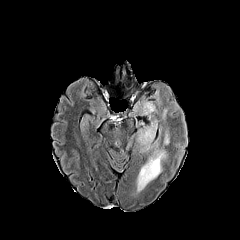
FLAIR MR.
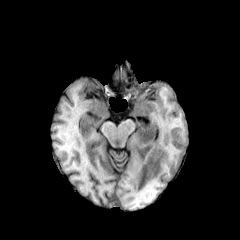
T1-weighted magnetic resonance.
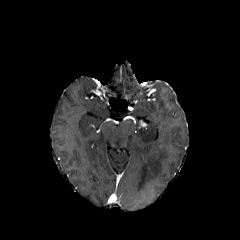
Post-contrast T1-weighted MR of the same slice.
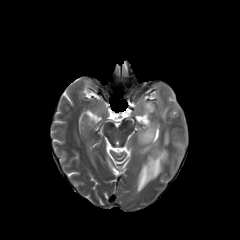
Same slice, T2-weighted magnetic resonance.
240x240 px
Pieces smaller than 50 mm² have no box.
peritumoral edema: <bbox>142, 101, 157, 115</bbox>, <bbox>137, 129, 170, 191</bbox>, <bbox>136, 117, 157, 151</bbox>